FLAIR MR.
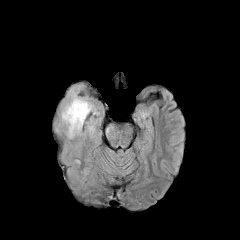
T1-weighted MR.
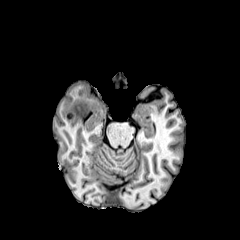
Post-contrast T1-weighted MR image.
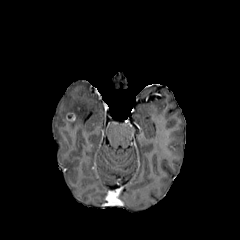
T2-weighted MR image.
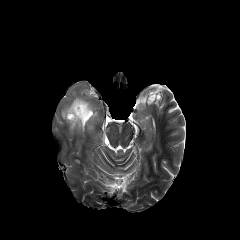
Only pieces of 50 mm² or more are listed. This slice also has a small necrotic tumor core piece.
peritumoral edema at 88 117 93 131, 61 90 98 137
enhancing tumor at 66 113 75 121